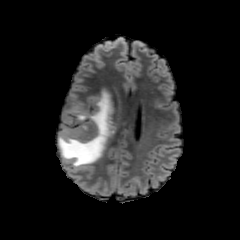
FLAIR magnetic resonance.
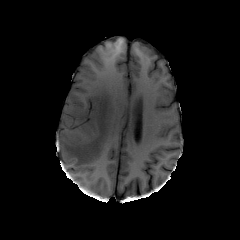
Same slice, T1-weighted MRI.
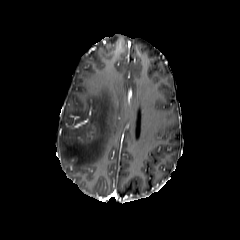
Post-contrast T1-weighted magnetic resonance.
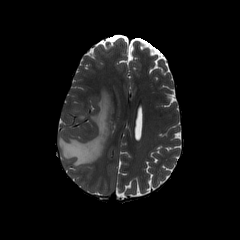
T2-weighted magnetic resonance.
Axial view
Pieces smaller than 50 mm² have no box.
<segmentation>
  <peritumoral_edema><bbox>58, 89, 114, 167</bbox></peritumoral_edema>
</segmentation>